Head, Image size 240x240
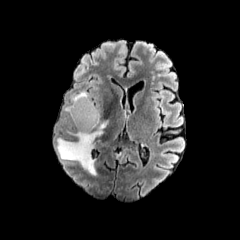
FLAIR MR image.
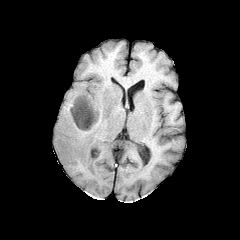
Same slice, T1-weighted MR image.
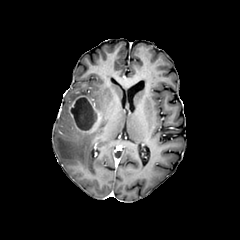
Post-contrast T1-weighted MR of the same slice.
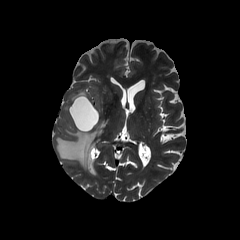
T2-weighted MR image.
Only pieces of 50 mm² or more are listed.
peritumoral_edema:
  - rect(70, 91, 88, 103)
  - rect(57, 120, 108, 175)
enhancing_tumor:
  - rect(69, 95, 100, 132)
necrotic_tumor_core:
  - rect(71, 97, 96, 130)